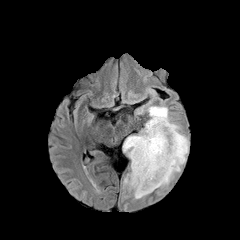
FLAIR MRI.
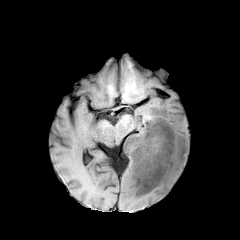
T1-weighted MRI.
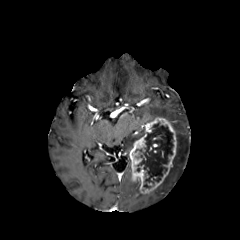
Post-contrast T1-weighted MRI.
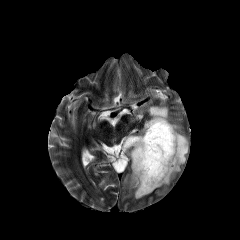
T2-weighted MR of the same slice.
Axial plane
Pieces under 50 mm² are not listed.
enhancing_tumor:
  - rect(129, 117, 177, 194)
peritumoral_edema:
  - rect(123, 125, 144, 155)
  - rect(147, 106, 170, 121)
  - rect(123, 173, 148, 199)
  - rect(158, 122, 188, 187)
necrotic_tumor_core:
  - rect(138, 122, 173, 183)